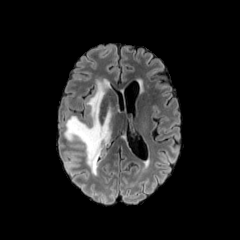
FLAIR MR.
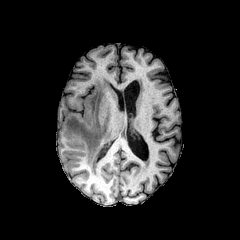
T1-weighted MRI.
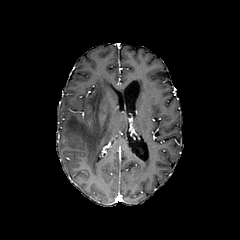
Post-contrast T1-weighted MR image.
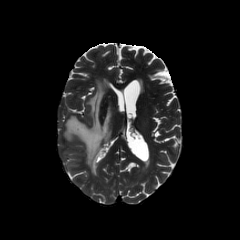
T2-weighted MR.
Brain
peritumoral edema: [x1=64, y1=78, x2=116, y2=175]